FLAIR MRI.
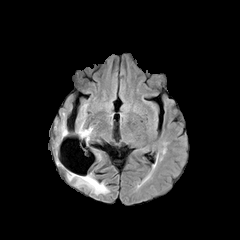
T1-weighted MRI.
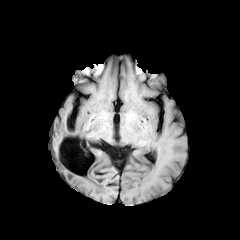
Post-contrast T1-weighted MRI.
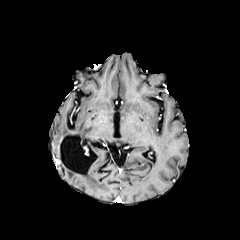
T2-weighted MR image.
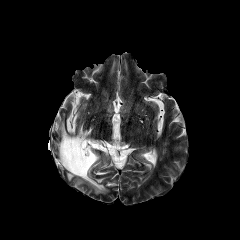
Axial slice
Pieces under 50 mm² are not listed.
peritumoral edema: (left=58, top=122, right=66, bottom=136), (left=78, top=127, right=89, bottom=141), (left=68, top=172, right=108, bottom=193)